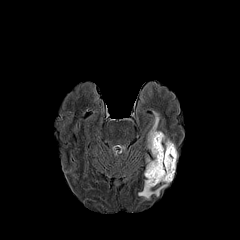
FLAIR MRI.
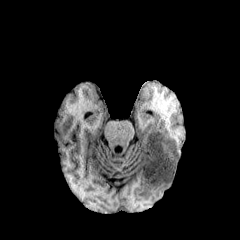
T1-weighted MR image of the same slice.
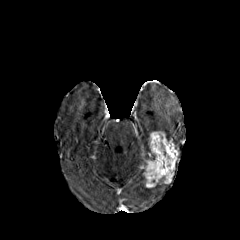
Post-contrast T1-weighted magnetic resonance.
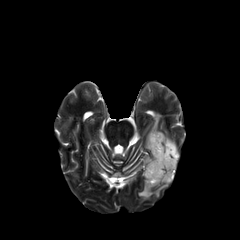
T2-weighted MR image of the same slice.
Axial view, Brain
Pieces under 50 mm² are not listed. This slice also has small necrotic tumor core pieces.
Segmented structures:
* enhancing tumor: x1=144, y1=131, x2=178, y2=188
* peritumoral edema: x1=147, y1=111, x2=160, y2=148; x1=138, y1=178, x2=168, y2=200